FLAIR MR.
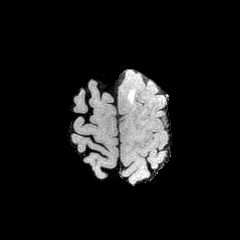
T1-weighted magnetic resonance.
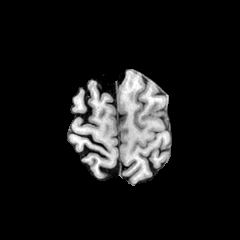
Post-contrast T1-weighted MR.
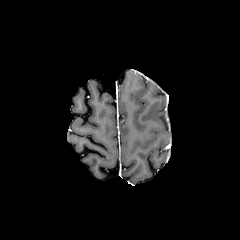
T2-weighted MRI.
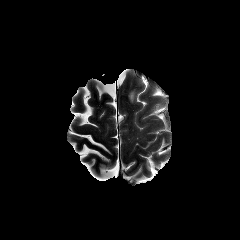
Brain
The peritumoral edema appears at 128,90,134,102.